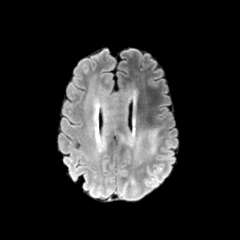
FLAIR MR image.
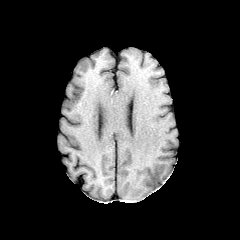
T1-weighted MR.
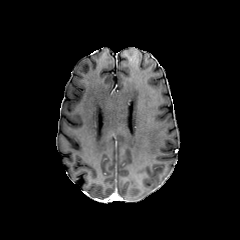
Post-contrast T1-weighted MR.
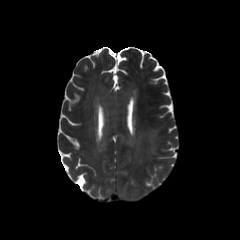
T2-weighted MR.
Brain | 240x240 | Axial view
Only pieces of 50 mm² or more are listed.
Annotated regions:
• peritumoral edema: {"x1": 98, "y1": 90, "x2": 131, "y2": 135}, {"x1": 134, "y1": 130, "x2": 159, "y2": 163}, {"x1": 96, "y1": 134, "x2": 105, "y2": 151}